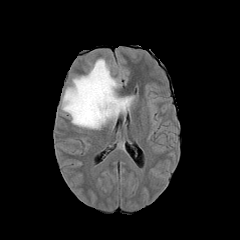
FLAIR MR image.
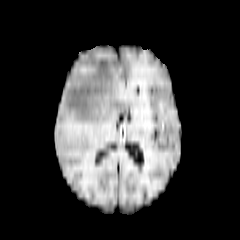
T1-weighted MR image.
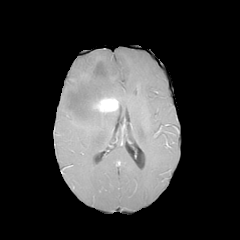
Same slice, post-contrast T1-weighted MR.
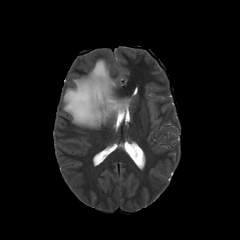
T2-weighted MR.
240x240. Axial plane.
Annotated regions:
* peritumoral edema: (x1=62, y1=58, x2=134, y2=129)
* enhancing tumor: (x1=92, y1=97, x2=118, y2=113)